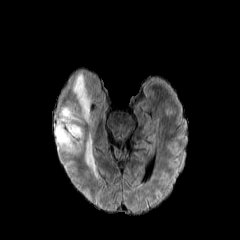
FLAIR MRI.
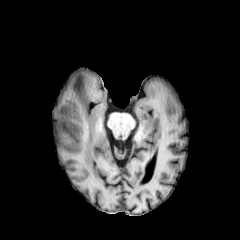
T1-weighted magnetic resonance of the same slice.
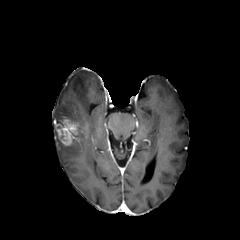
Post-contrast T1-weighted magnetic resonance.
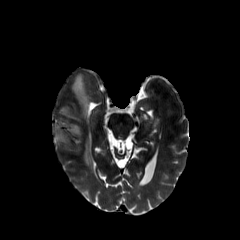
T2-weighted MR image.
Axial view. Head. Image size 240x240.
peritumoral edema: box=[55, 130, 78, 151]; box=[85, 136, 97, 176]; box=[57, 107, 80, 123]; box=[73, 74, 90, 121]; box=[76, 126, 82, 138] | enhancing tumor: box=[55, 118, 78, 145]